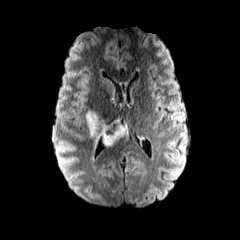
FLAIR magnetic resonance.
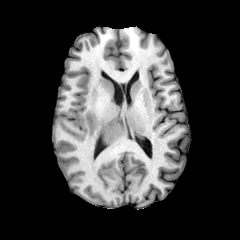
T1-weighted MR image.
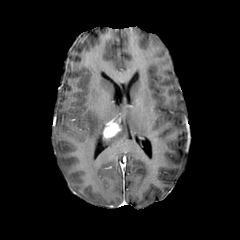
Post-contrast T1-weighted MR image.
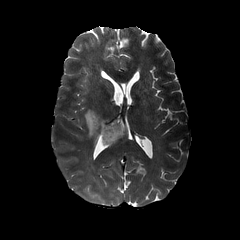
T2-weighted magnetic resonance.
Axial plane
<segmentation>
  <enhancing_tumor>x1=102, y1=120, x2=121, y2=140</enhancing_tumor>
  <peritumoral_edema>x1=85, y1=108, x2=129, y2=153</peritumoral_edema>
</segmentation>